Axial view
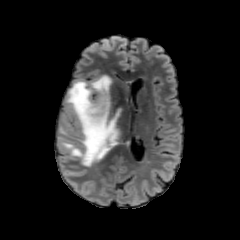
FLAIR magnetic resonance.
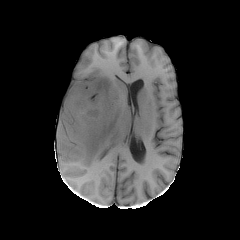
T1-weighted MR of the same slice.
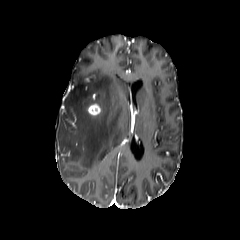
Post-contrast T1-weighted MR image.
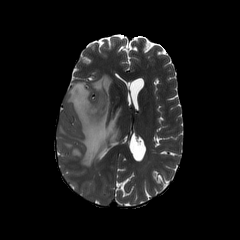
T2-weighted MR.
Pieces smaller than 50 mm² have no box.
peritumoral edema = x1=59 y1=75 x2=122 y2=166
enhancing tumor = x1=87 y1=103 x2=101 y2=116